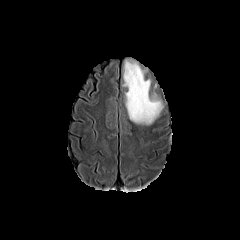
FLAIR MRI.
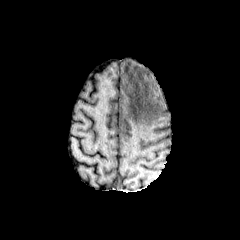
Same slice, T1-weighted magnetic resonance.
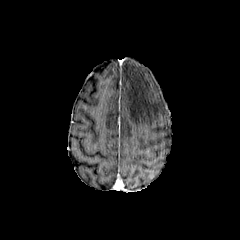
Post-contrast T1-weighted MR image.
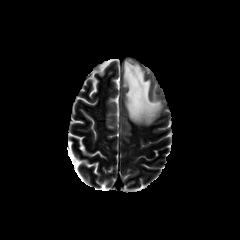
T2-weighted MR image.
Axial slice. 240x240 px. Head.
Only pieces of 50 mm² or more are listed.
- peritumoral edema: 123, 60, 162, 124